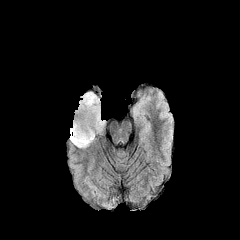
FLAIR MRI.
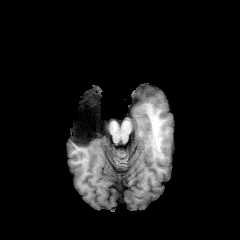
T1-weighted MR image of the same slice.
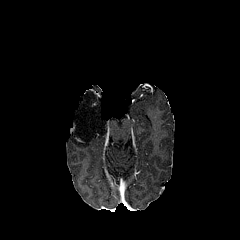
Post-contrast T1-weighted MRI of the same slice.
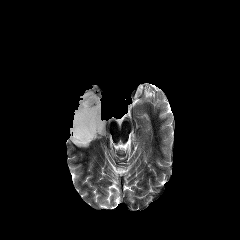
Same slice, T2-weighted magnetic resonance.
Axial plane | Head
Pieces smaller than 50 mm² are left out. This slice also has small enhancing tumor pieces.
The peritumoral edema is at (70, 92, 105, 147).